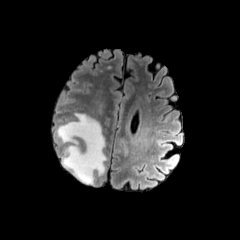
FLAIR MR.
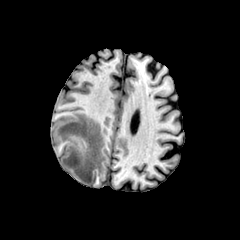
T1-weighted magnetic resonance.
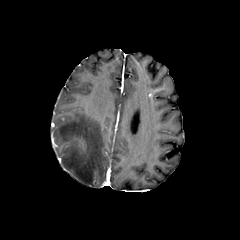
Post-contrast T1-weighted MR.
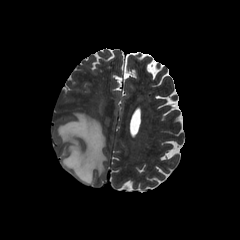
Same slice, T2-weighted MR image.
Axial slice, Head
peritumoral edema: (x1=56, y1=113, x2=106, y2=184)